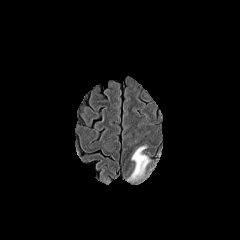
FLAIR MR.
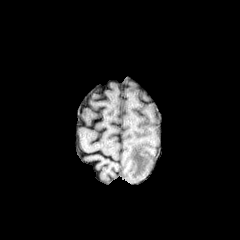
T1-weighted MRI.
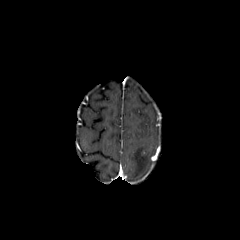
Post-contrast T1-weighted MR image.
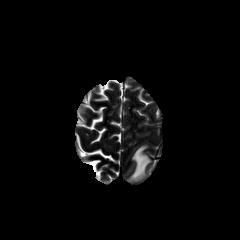
Same slice, T2-weighted magnetic resonance.
Axial slice, 240x240
The peritumoral edema appears at box=[129, 146, 149, 180].